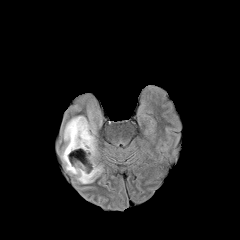
FLAIR magnetic resonance.
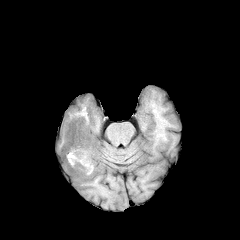
T1-weighted MRI.
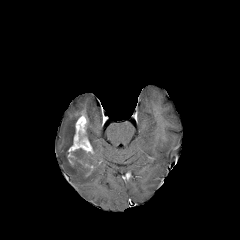
Post-contrast T1-weighted MR.
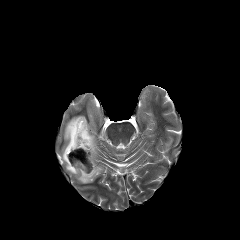
T2-weighted magnetic resonance.
Axial plane; 240x240 px
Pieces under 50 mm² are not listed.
Findings:
* enhancing tumor: [85,164,92,177], [68,115,93,165]
* necrotic tumor core: [71,149,91,172]
* peritumoral edema: [61,113,103,183]